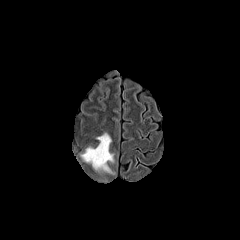
FLAIR magnetic resonance.
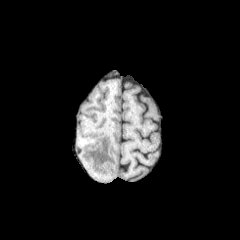
Same slice, T1-weighted MR.
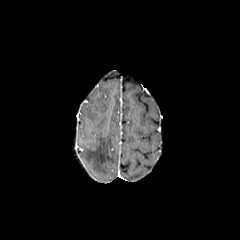
Post-contrast T1-weighted magnetic resonance.
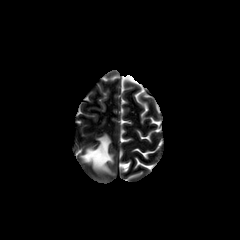
Same slice, T2-weighted MR.
240x240, Head, Axial slice
peritumoral edema: 81, 133, 113, 173